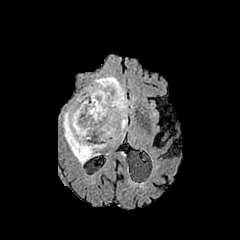
FLAIR MRI.
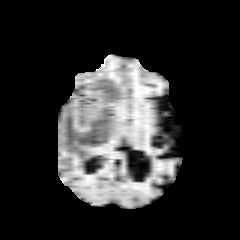
T1-weighted MR of the same slice.
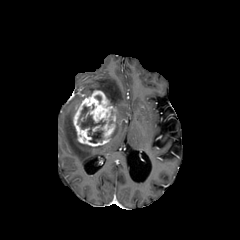
Post-contrast T1-weighted MR image.
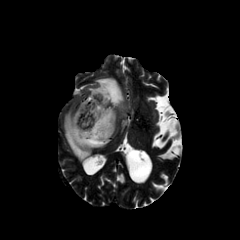
T2-weighted MR of the same slice.
Axial slice. Head.
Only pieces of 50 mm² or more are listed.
The largest necrotic tumor core region is bounded by {"x1": 78, "y1": 106, "x2": 105, "y2": 143}. The 2 largest peritumoral edema regions are located at {"x1": 86, "y1": 76, "x2": 131, "y2": 140}, {"x1": 63, "y1": 109, "x2": 107, "y2": 164}. The enhancing tumor appears at {"x1": 73, "y1": 90, "x2": 116, "y2": 146}.